FLAIR magnetic resonance.
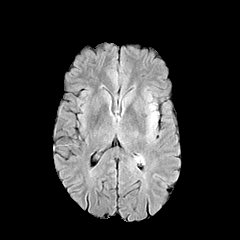
T1-weighted MR image.
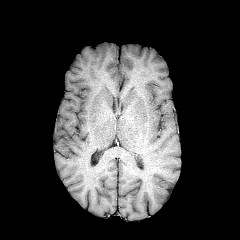
Post-contrast T1-weighted MRI.
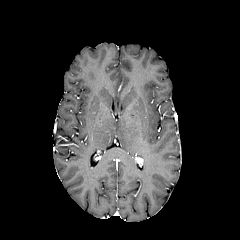
T2-weighted MRI.
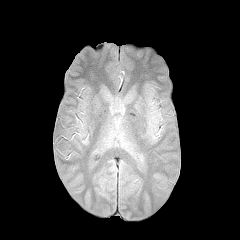
Brain, 240x240
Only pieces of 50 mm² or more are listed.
peritumoral edema: [150,112,156,123]